FLAIR MRI.
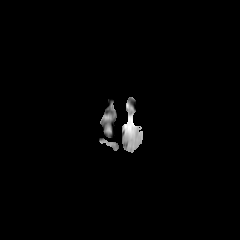
T1-weighted MR.
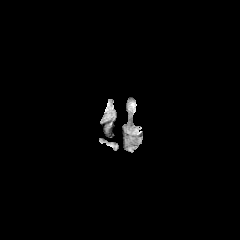
Post-contrast T1-weighted MR.
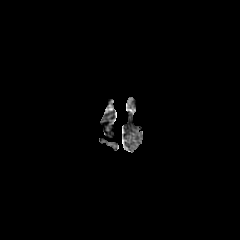
T2-weighted MR.
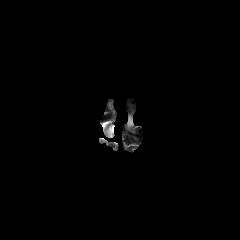
The peritumoral edema is bounded by {"x1": 125, "y1": 117, "x2": 133, "y2": 131}.